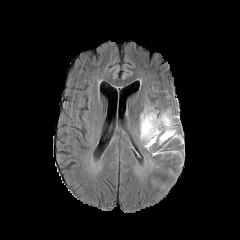
FLAIR magnetic resonance.
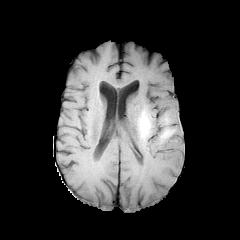
T1-weighted magnetic resonance of the same slice.
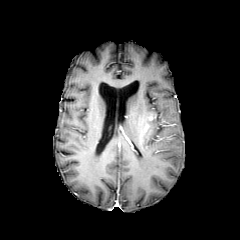
Post-contrast T1-weighted MR.
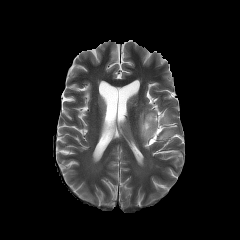
T2-weighted MR.
Axial view, Head, 240x240 px
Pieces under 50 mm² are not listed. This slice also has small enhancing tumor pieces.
peritumoral edema at (x1=140, y1=112, x2=180, y2=149)